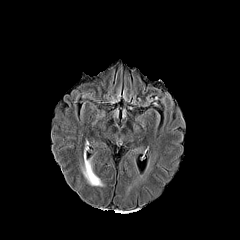
FLAIR MRI.
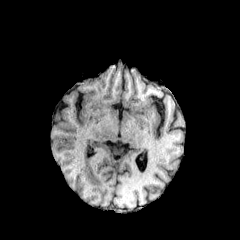
Same slice, T1-weighted MR image.
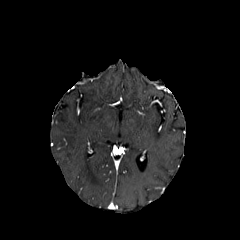
Post-contrast T1-weighted MRI of the same slice.
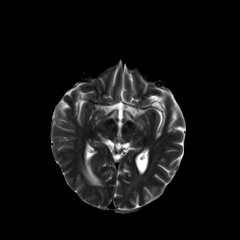
T2-weighted MR.
Axial slice | Brain
The peritumoral edema is bounded by (left=82, top=148, right=102, bottom=186).